FLAIR MRI.
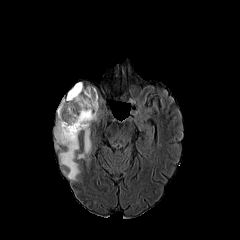
T1-weighted MR.
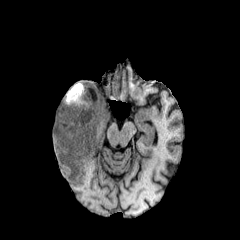
Post-contrast T1-weighted MR image.
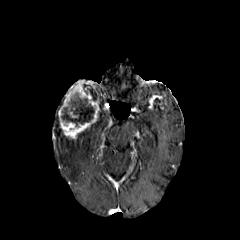
T2-weighted MRI.
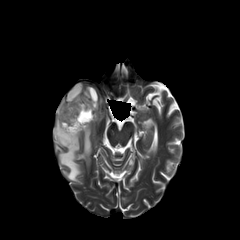
Image size 240x240, Head, Axial slice
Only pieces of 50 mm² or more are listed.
enhancing tumor: 58, 82, 100, 139 | necrotic tumor core: 88, 85, 97, 100; 62, 84, 94, 126 | peritumoral edema: 54, 115, 91, 180